Axial view
FLAIR MR image.
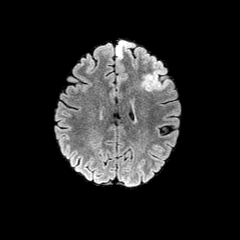
T1-weighted MR image.
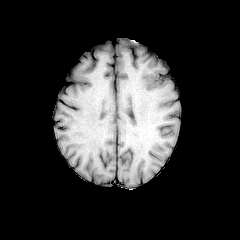
Post-contrast T1-weighted MR image.
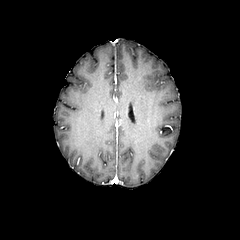
T2-weighted magnetic resonance.
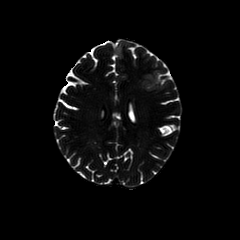
2 peritumoral edema regions appear at [141, 69, 168, 91], [115, 40, 128, 59].